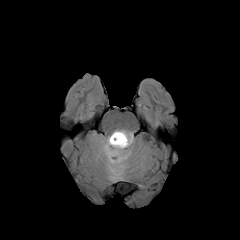
FLAIR MR.
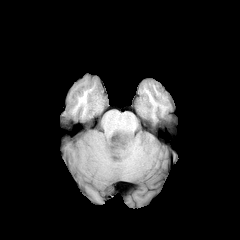
T1-weighted MR.
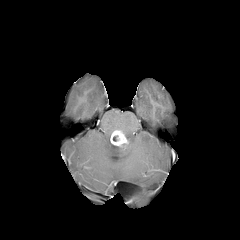
Post-contrast T1-weighted magnetic resonance of the same slice.
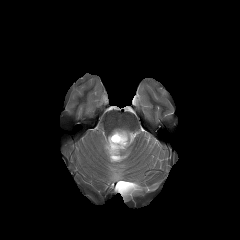
T2-weighted MR.
Axial slice, Brain
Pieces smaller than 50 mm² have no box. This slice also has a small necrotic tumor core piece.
{
  "peritumoral_edema": [
    "100 129 134 180"
  ],
  "enhancing_tumor": [
    "110 130 128 147"
  ]
}